Slice index 121; Head; Axial plane
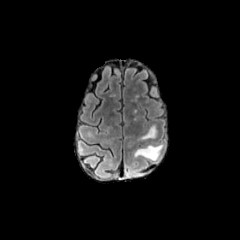
FLAIR MR image.
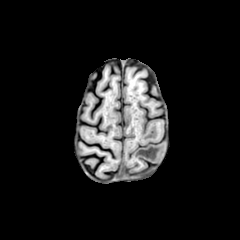
T1-weighted MR of the same slice.
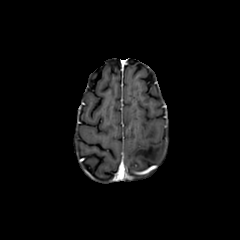
Post-contrast T1-weighted magnetic resonance.
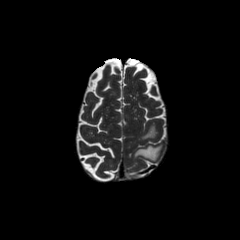
T2-weighted MR image.
peritumoral edema: bounding box x1=134, y1=144, x2=163, y2=160; x1=139, y1=125, x2=156, y2=139